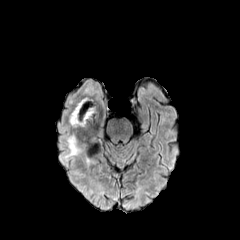
FLAIR MR.
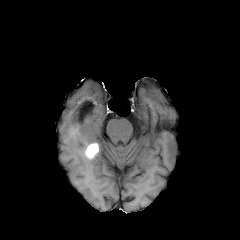
T1-weighted magnetic resonance.
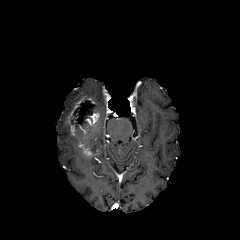
Post-contrast T1-weighted MR of the same slice.
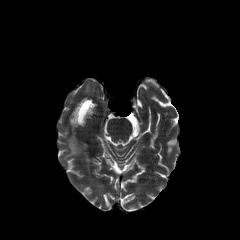
T2-weighted MRI of the same slice.
Axial plane.
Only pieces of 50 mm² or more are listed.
necrotic tumor core = (left=78, top=101, right=94, bottom=123)
peritumoral edema = (left=63, top=136, right=81, bottom=160)
enhancing tumor = (left=68, top=98, right=102, bottom=157)